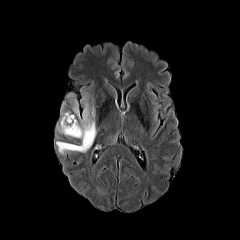
FLAIR magnetic resonance.
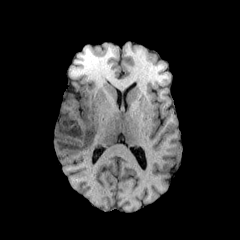
T1-weighted magnetic resonance.
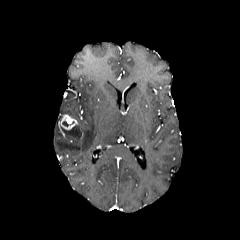
Post-contrast T1-weighted MR image.
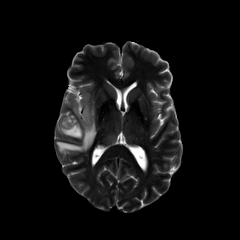
T2-weighted magnetic resonance.
Axial slice
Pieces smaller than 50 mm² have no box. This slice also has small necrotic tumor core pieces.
peritumoral_edema:
  - l=62, t=105, r=75, b=118
  - l=56, t=93, r=96, b=153
enhancing_tumor:
  - l=61, t=114, r=77, b=129